Slice 116 of 155 | Axial view | Image size 240x240
FLAIR MR.
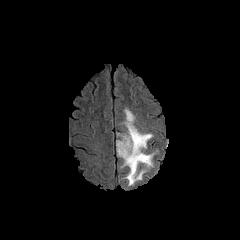
T1-weighted MR image.
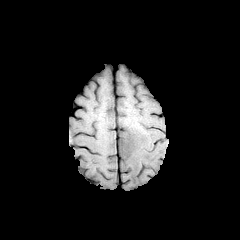
Post-contrast T1-weighted MR image.
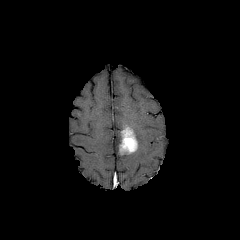
T2-weighted MRI.
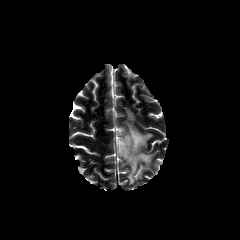
The peritumoral edema is bounded by bbox(116, 108, 157, 186). The enhancing tumor is at bbox(119, 126, 137, 155).